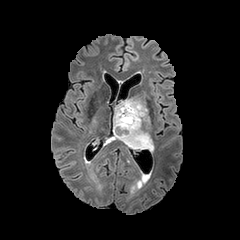
FLAIR MR image.
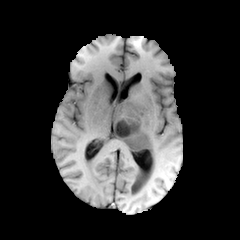
T1-weighted MR of the same slice.
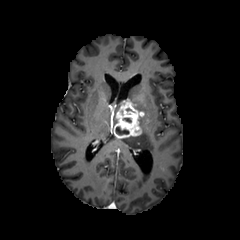
Post-contrast T1-weighted MR image.
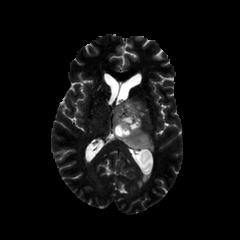
T2-weighted MR.
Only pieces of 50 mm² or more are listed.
Annotated regions:
- enhancing tumor: [114, 98, 144, 137]
- peritumoral edema: [119, 98, 153, 150], [113, 101, 123, 129]
- necrotic tumor core: [116, 125, 129, 135]